FLAIR MR image.
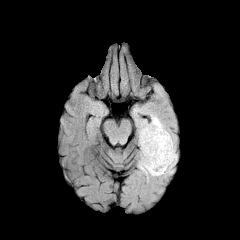
T1-weighted MRI.
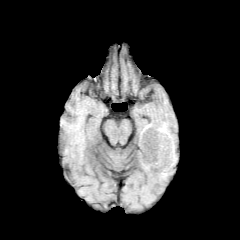
Post-contrast T1-weighted MR image.
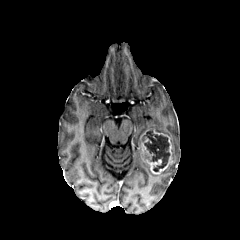
T2-weighted MR image.
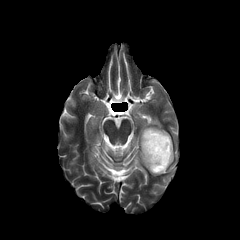
Image size 240x240; Axial plane; Head
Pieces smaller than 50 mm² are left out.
enhancing_tumor:
  - region(141, 129, 172, 174)
peritumoral_edema:
  - region(138, 115, 176, 176)
necrotic_tumor_core:
  - region(144, 129, 169, 171)